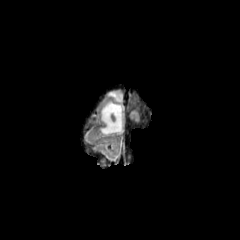
FLAIR MRI.
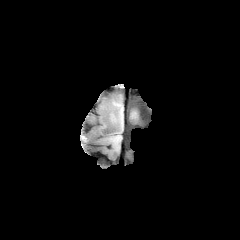
T1-weighted MRI.
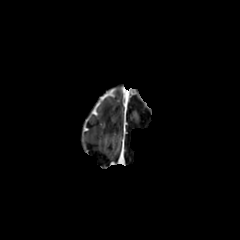
Post-contrast T1-weighted MR image.
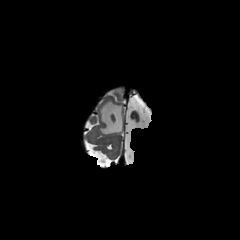
T2-weighted MR image.
2 peritumoral edema regions appear at (109, 92, 122, 101), (100, 100, 122, 134).